FLAIR MRI.
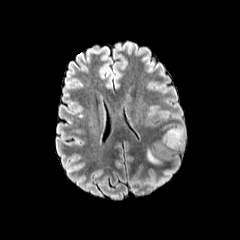
T1-weighted MRI.
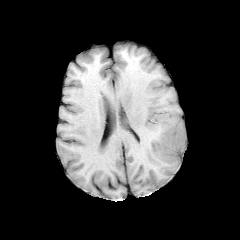
Post-contrast T1-weighted MR image.
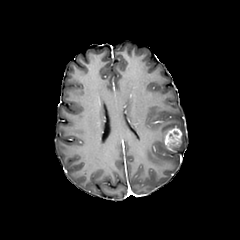
T2-weighted MRI.
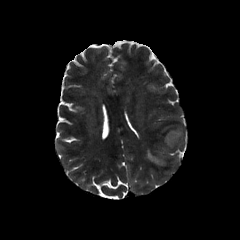
Brain.
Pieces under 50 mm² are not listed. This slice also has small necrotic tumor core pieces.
enhancing tumor — <box>164,127,182,152</box>
peritumoral edema — <box>176,126,184,151</box>, <box>147,150,166,165</box>